Brain; Axial plane
FLAIR MRI.
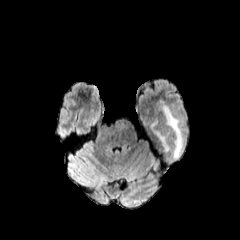
T1-weighted MR.
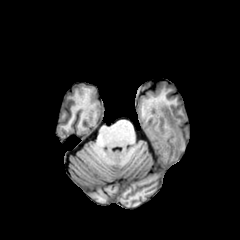
Post-contrast T1-weighted MR.
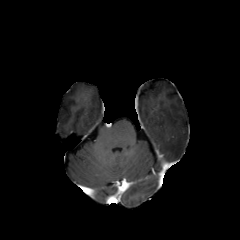
T2-weighted magnetic resonance.
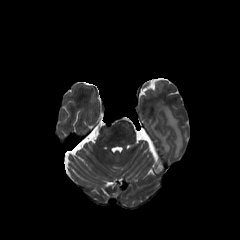
{"peritumoral_edema": ["rect(161, 105, 184, 158)", "rect(152, 121, 170, 151)"]}